Brain; 240x240; Slice 72 of 155
FLAIR MR image.
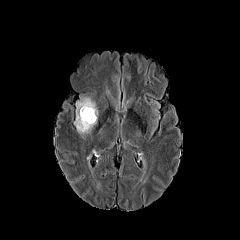
T1-weighted MRI.
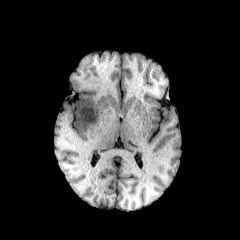
Post-contrast T1-weighted MR image.
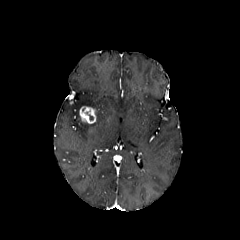
T2-weighted MR.
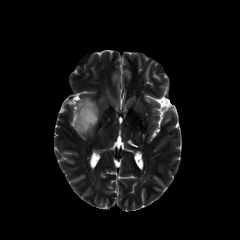
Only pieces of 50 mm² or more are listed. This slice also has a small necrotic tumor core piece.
peritumoral edema — x1=74 y1=97 x2=96 y2=134
enhancing tumor — x1=79 y1=106 x2=96 y2=124